Slice index 72. Brain. Axial plane.
FLAIR MR image.
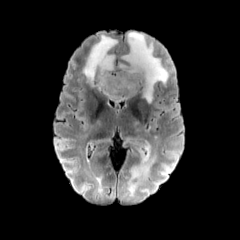
T1-weighted MR image.
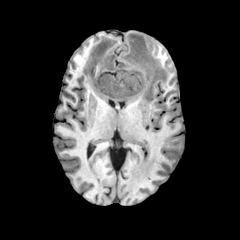
Post-contrast T1-weighted MR image.
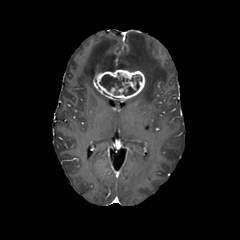
T2-weighted magnetic resonance.
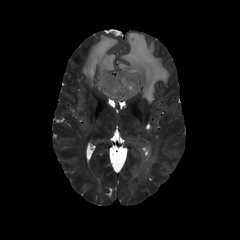
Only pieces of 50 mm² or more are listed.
enhancing tumor = bbox(93, 69, 145, 101)
peritumoral edema = bbox(82, 35, 117, 86); bbox(118, 32, 169, 102); bbox(125, 138, 155, 197)
necrotic tumor core = bbox(100, 74, 133, 91); bbox(123, 86, 135, 95); bbox(136, 75, 141, 89)